Image width 240 mm; Image size 240x240
FLAIR MR image.
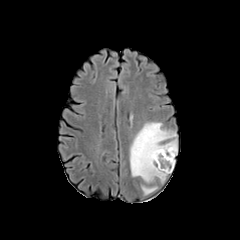
T1-weighted magnetic resonance.
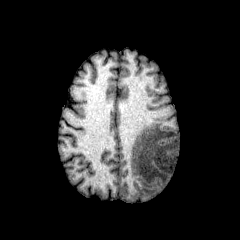
Post-contrast T1-weighted MR image.
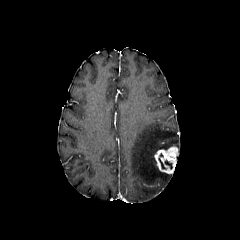
T2-weighted MRI.
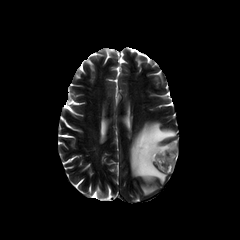
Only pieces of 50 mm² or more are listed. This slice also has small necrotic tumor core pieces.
Segmented structures:
* enhancing tumor: 154 145 177 173
* peritumoral edema: 130 122 177 183, 140 185 157 195